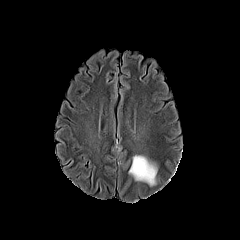
FLAIR MRI.
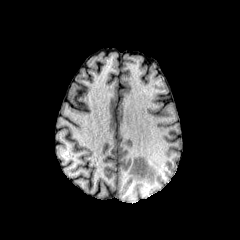
T1-weighted MR.
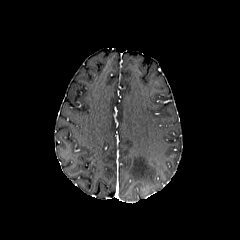
Post-contrast T1-weighted MR image of the same slice.
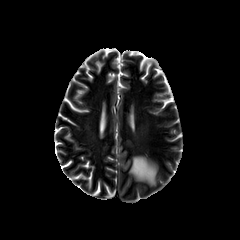
Same slice, T2-weighted magnetic resonance.
Brain
peritumoral edema: bounding box x1=129, y1=155, x2=156, y2=185